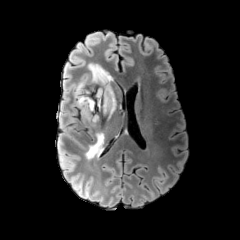
FLAIR MR image.
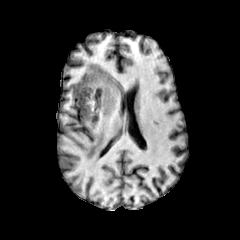
Same slice, T1-weighted MR.
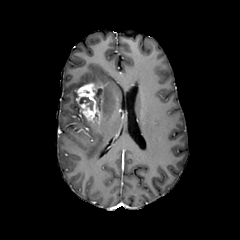
Same slice, post-contrast T1-weighted MRI.
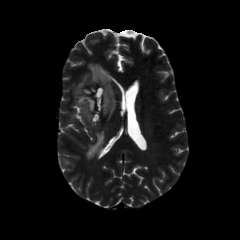
T2-weighted magnetic resonance of the same slice.
Head.
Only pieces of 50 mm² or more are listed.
necrotic tumor core — 80, 97, 93, 110
peritumoral edema — 85, 121, 104, 158; 75, 63, 116, 120
enhancing tumor — 75, 82, 103, 124